Head
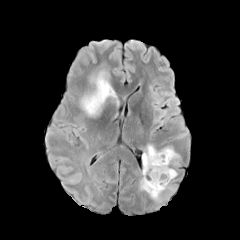
FLAIR MRI.
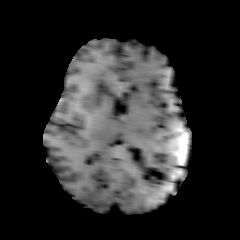
T1-weighted MRI.
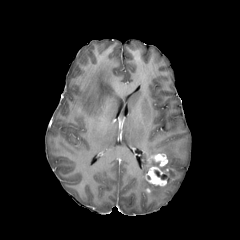
Same slice, post-contrast T1-weighted MR.
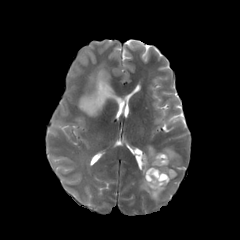
Same slice, T2-weighted MR image.
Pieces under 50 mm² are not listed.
<segmentation>
  <necrotic_tumor_core>155 170 167 179</necrotic_tumor_core>
  <peritumoral_edema>140 144 179 201, 80 69 116 116</peritumoral_edema>
  <enhancing_tumor>145 166 168 185, 152 153 167 166</enhancing_tumor>
</segmentation>